Axial slice | 240x240 | Head
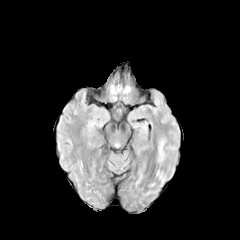
FLAIR magnetic resonance.
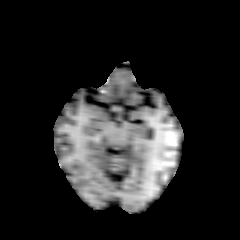
Same slice, T1-weighted MR image.
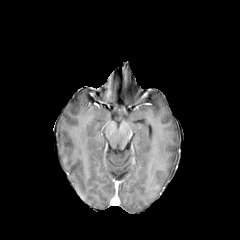
Post-contrast T1-weighted MRI.
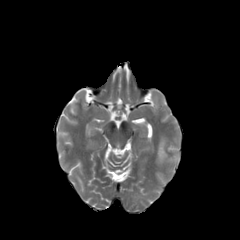
T2-weighted MR image.
peritumoral edema at 158:140:166:162